Image covers 240 mm x 240 mm; Slice index 79
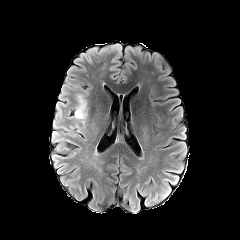
FLAIR MR.
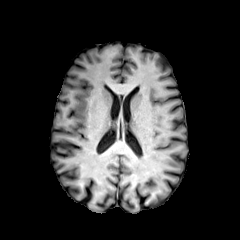
Same slice, T1-weighted MRI.
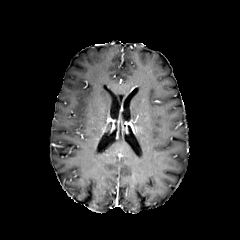
Post-contrast T1-weighted magnetic resonance.
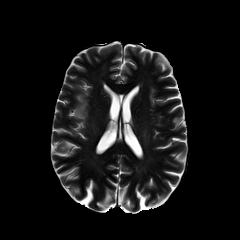
T2-weighted MR.
The peritumoral edema is located at {"x1": 73, "y1": 90, "x2": 87, "y2": 131}.